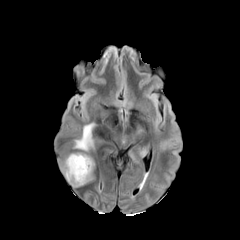
FLAIR MRI.
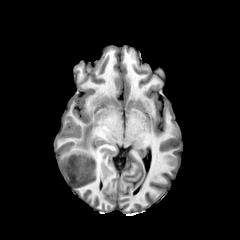
T1-weighted MRI of the same slice.
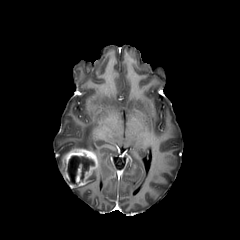
Post-contrast T1-weighted MRI.
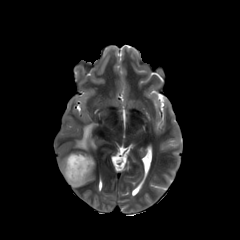
T2-weighted MR image.
Head. 240x240.
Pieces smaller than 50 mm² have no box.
- peritumoral edema: (x1=73, y1=124, x2=94, y2=150)
- necrotic tumor core: (x1=67, y1=156, x2=94, y2=184)
- enhancing tumor: (x1=62, y1=149, x2=96, y2=187)